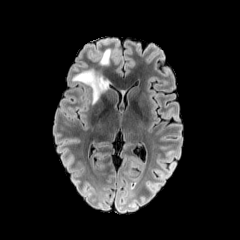
FLAIR MR.
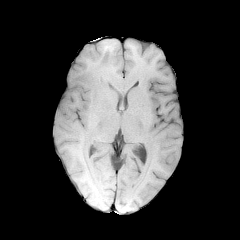
T1-weighted MR image.
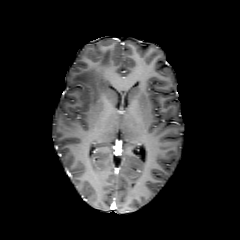
Same slice, post-contrast T1-weighted MR image.
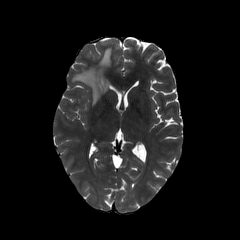
T2-weighted magnetic resonance.
Brain
peritumoral edema: left=72, top=68, right=108, bottom=104; left=99, top=49, right=110, bottom=66